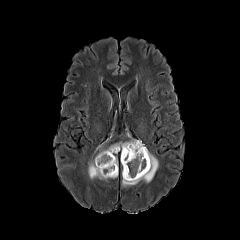
FLAIR MRI.
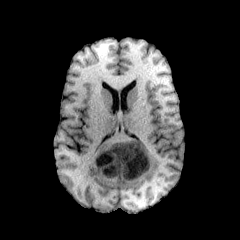
Same slice, T1-weighted magnetic resonance.
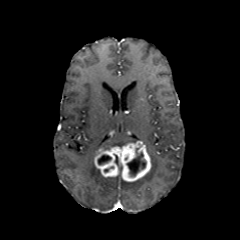
Post-contrast T1-weighted magnetic resonance.
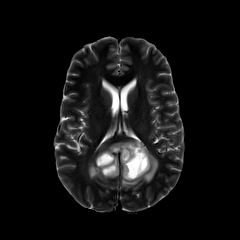
T2-weighted magnetic resonance of the same slice.
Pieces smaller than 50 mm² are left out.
necrotic tumor core at [x1=127, y1=148, x2=146, y2=176], [x1=98, y1=154, x2=111, y2=164]
peritumoral edema at [x1=110, y1=139, x2=138, y2=146], [x1=121, y1=149, x2=158, y2=186], [x1=88, y1=159, x2=115, y2=180]
enhancing tumor at [x1=94, y1=141, x2=151, y2=181]